FLAIR MR.
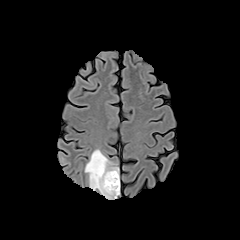
T1-weighted MRI.
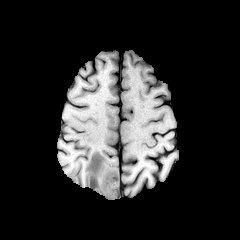
Post-contrast T1-weighted MR image.
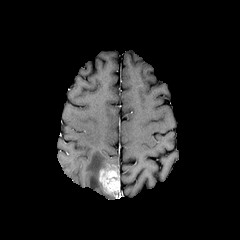
T2-weighted MR.
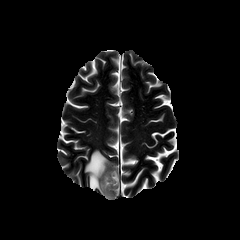
240x240 px | Brain
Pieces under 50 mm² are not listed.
enhancing tumor: rect(99, 165, 117, 195)
peritumoral edema: rect(85, 149, 114, 198)